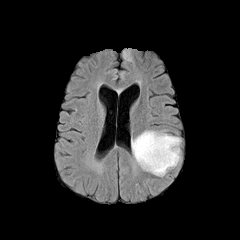
FLAIR MRI.
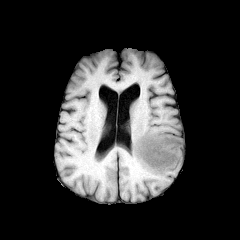
T1-weighted magnetic resonance.
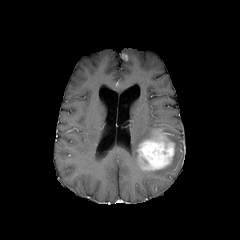
Post-contrast T1-weighted MRI of the same slice.
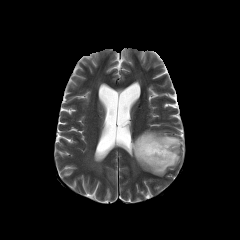
Same slice, T2-weighted MR image.
Head, Axial view
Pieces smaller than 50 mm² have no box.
The 3 largest peritumoral edema regions are bounded by [x1=147, y1=134, x2=180, y2=176], [x1=131, y1=130, x2=157, y2=164], [x1=123, y1=50, x2=131, y2=60]. The largest enhancing tumor region is located at [x1=136, y1=130, x2=175, y2=170].